Brain
FLAIR MR.
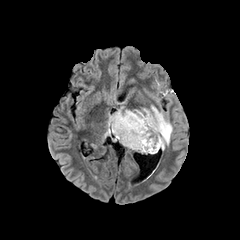
T1-weighted MR.
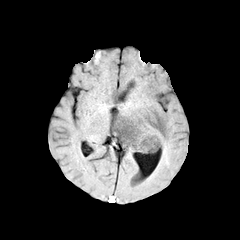
Post-contrast T1-weighted MR image.
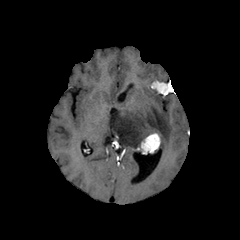
T2-weighted magnetic resonance.
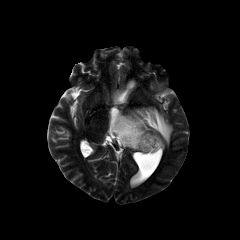
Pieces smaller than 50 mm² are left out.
enhancing_tumor:
  - x1=137 y1=133 x2=160 y2=154
peritumoral_edema:
  - x1=104 y1=106 x2=172 y2=150